FLAIR MR image.
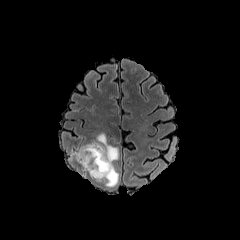
T1-weighted MR.
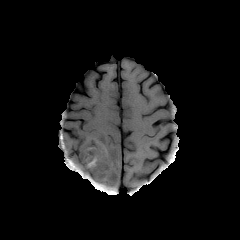
Post-contrast T1-weighted magnetic resonance.
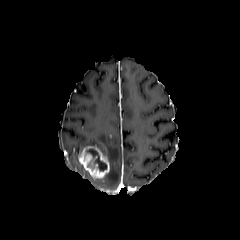
T2-weighted MR.
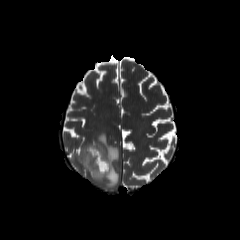
Head; 240x240 px
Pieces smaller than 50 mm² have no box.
necrotic tumor core: region(86, 148, 106, 170) | peritumoral edema: region(70, 133, 119, 186) | enhancing tumor: region(78, 146, 109, 178)